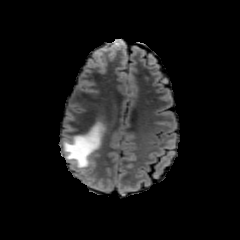
FLAIR MR.
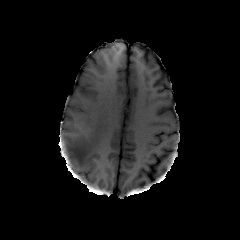
T1-weighted magnetic resonance.
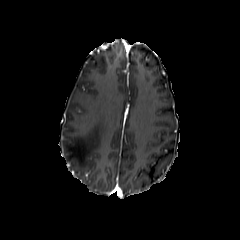
Same slice, post-contrast T1-weighted MR.
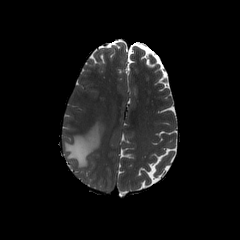
T2-weighted MR.
Axial slice | Brain | 240x240
peritumoral edema: bounding box (left=63, top=122, right=104, bottom=167)